Axial view
FLAIR magnetic resonance.
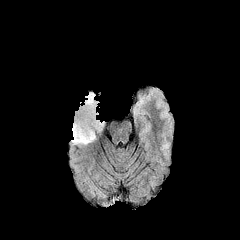
T1-weighted MRI.
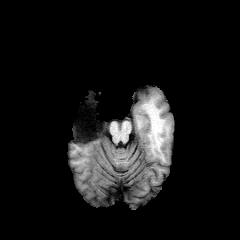
Post-contrast T1-weighted MR image.
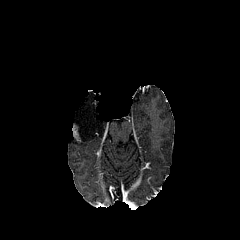
T2-weighted MR image.
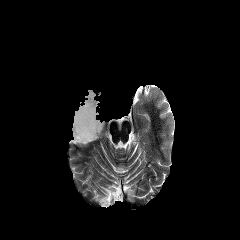
The enhancing tumor is located at <box>72,124,81,142</box>. The peritumoral edema lies within <box>71,93,104,145</box>.